Axial view | Slice 123 of 155 | Brain | Image size 240x240
FLAIR MR image.
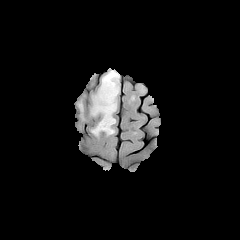
T1-weighted magnetic resonance.
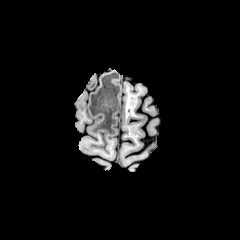
Post-contrast T1-weighted MRI.
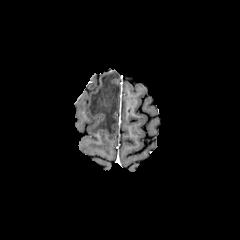
T2-weighted magnetic resonance.
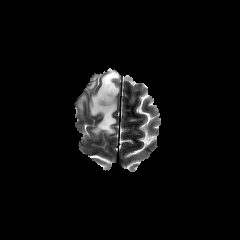
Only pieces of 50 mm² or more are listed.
Findings:
* peritumoral edema: (left=90, top=70, right=119, bottom=135)